FLAIR MR image.
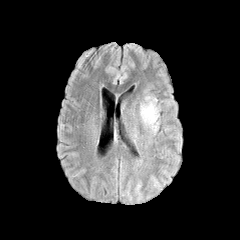
T1-weighted MRI.
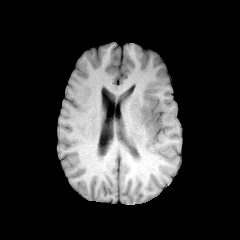
Post-contrast T1-weighted magnetic resonance.
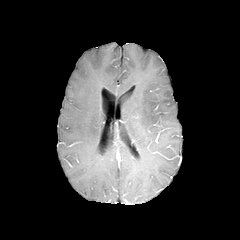
T2-weighted MR.
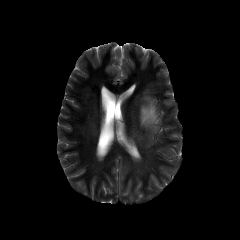
peritumoral edema: {"x1": 140, "y1": 96, "x2": 158, "y2": 132}